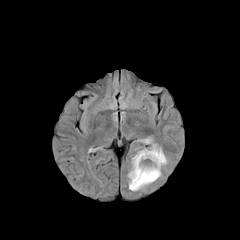
FLAIR magnetic resonance.
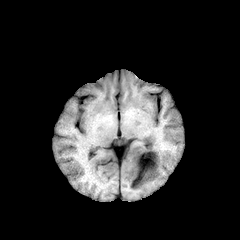
Same slice, T1-weighted MR image.
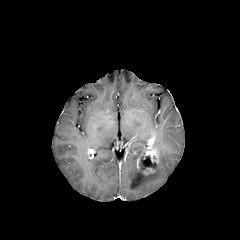
Post-contrast T1-weighted MR.
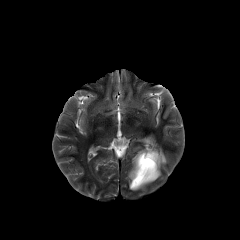
T2-weighted MR.
Image size 240x240, Head, Axial view
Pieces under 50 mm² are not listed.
enhancing tumor: 142:168:155:174, 137:147:159:171
necrotic tumor core: 139:155:156:172
peritumoral edema: 128:143:167:190